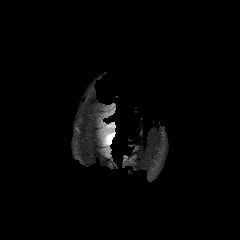
FLAIR MR.
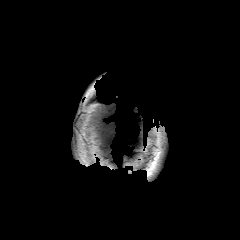
T1-weighted MRI.
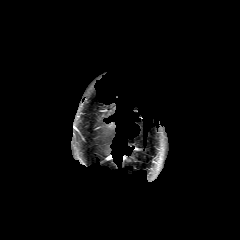
Post-contrast T1-weighted MRI.
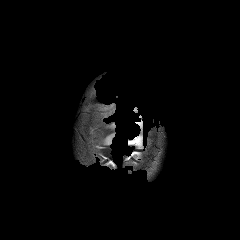
T2-weighted MRI.
Brain.
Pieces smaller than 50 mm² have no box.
peritumoral edema: bbox=[104, 133, 114, 144]